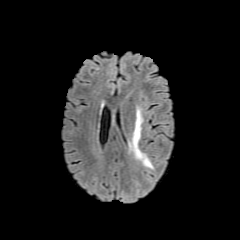
FLAIR MR.
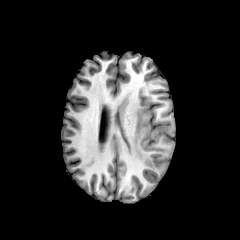
T1-weighted MR image.
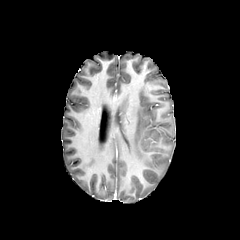
Post-contrast T1-weighted MR of the same slice.
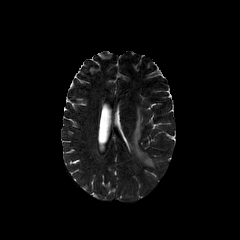
T2-weighted MR image.
The peritumoral edema is located at [129, 107, 153, 168].